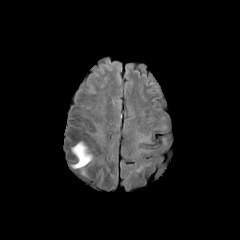
FLAIR MRI.
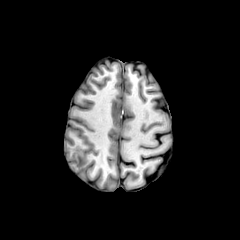
Same slice, T1-weighted MR.
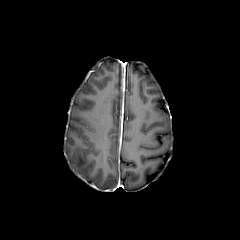
Post-contrast T1-weighted MR image.
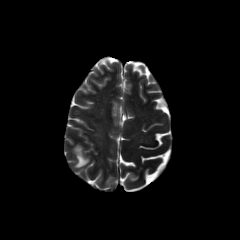
T2-weighted MR.
peritumoral edema at x1=73, y1=143, x2=91, y2=167